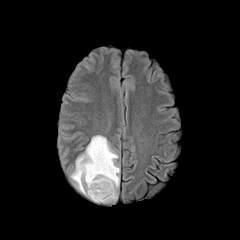
FLAIR magnetic resonance.
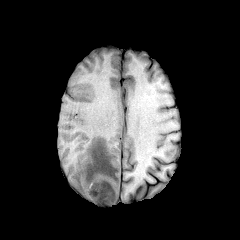
T1-weighted magnetic resonance of the same slice.
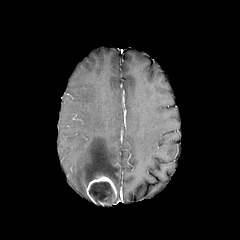
Same slice, post-contrast T1-weighted magnetic resonance.
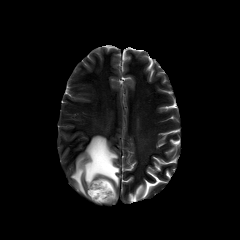
T2-weighted MR of the same slice.
Head
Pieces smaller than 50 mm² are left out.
<segmentation>
  <peritumoral_edema>{"x1": 70, "y1": 135, "x2": 119, "y2": 195}</peritumoral_edema>
  <enhancing_tumor>{"x1": 86, "y1": 176, "x2": 117, "y2": 204}</enhancing_tumor>
  <necrotic_tumor_core>{"x1": 89, "y1": 182, "x2": 113, "y2": 202}</necrotic_tumor_core>
</segmentation>